FLAIR MR.
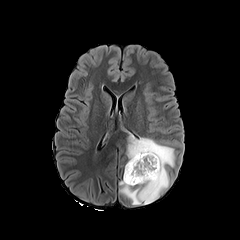
T1-weighted MR.
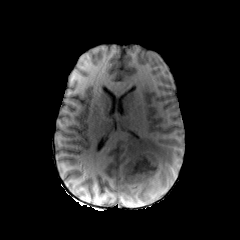
Post-contrast T1-weighted MR image.
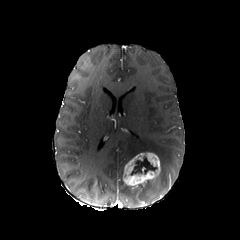
T2-weighted MR image.
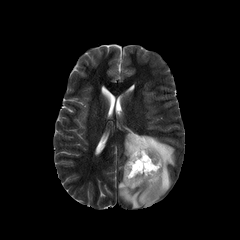
Axial slice
peritumoral edema: bbox(119, 134, 174, 205) | necrotic tumor core: bbox(130, 156, 156, 175) | enhancing tumor: bbox(123, 152, 160, 188)